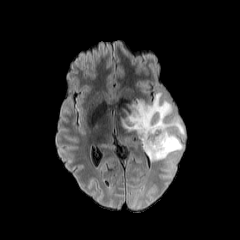
FLAIR magnetic resonance.
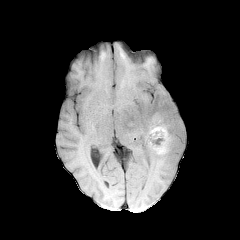
T1-weighted MR image.
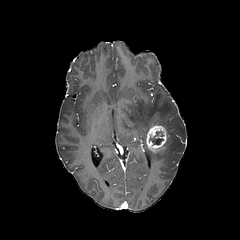
Post-contrast T1-weighted MR image.
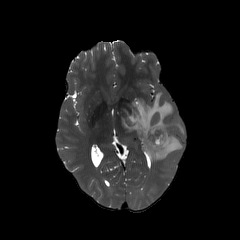
T2-weighted magnetic resonance.
Brain; Axial slice
* necrotic tumor core: 149,131,163,144
* enhancing tumor: 146,125,168,152
* peritumoral edema: 123,92,185,161